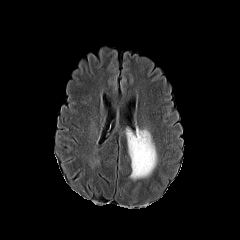
FLAIR MRI.
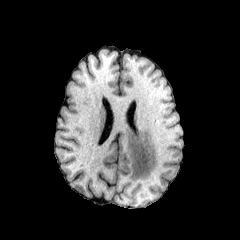
T1-weighted MRI of the same slice.
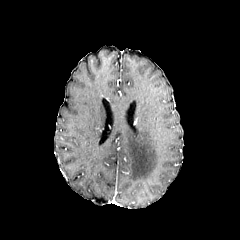
Post-contrast T1-weighted MRI.
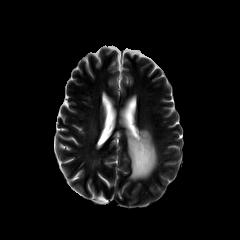
Same slice, T2-weighted MR.
Axial view | 240x240 px
peritumoral edema: left=126, top=128, right=157, bottom=179